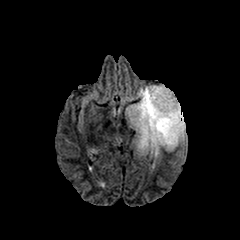
FLAIR MR image.
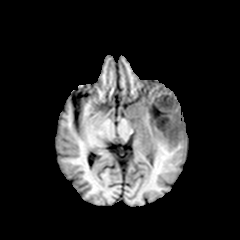
T1-weighted MR of the same slice.
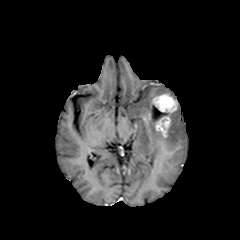
Post-contrast T1-weighted MR image.
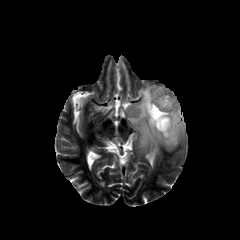
T2-weighted MR.
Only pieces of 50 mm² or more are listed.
{
  "enhancing_tumor": [
    "rect(143, 94, 177, 137)"
  ],
  "necrotic_tumor_core": [
    "rect(149, 104, 167, 123)"
  ],
  "peritumoral_edema": [
    "rect(126, 84, 186, 158)"
  ]
}